Head
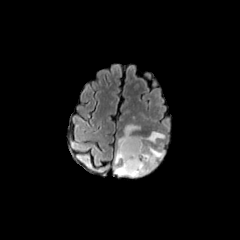
FLAIR MR image.
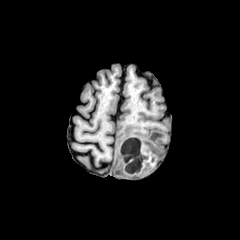
T1-weighted MR image.
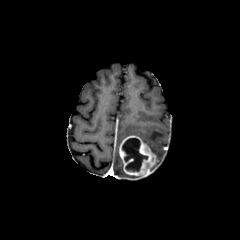
Post-contrast T1-weighted MRI.
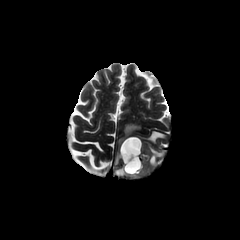
T2-weighted MRI of the same slice.
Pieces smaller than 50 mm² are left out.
The necrotic tumor core appears at 122 138 148 171. The 2 largest peritumoral edema regions appear at 139 131 165 159, 114 124 140 177. The enhancing tumor lies within 119 135 157 177.